Slice 58 of 155
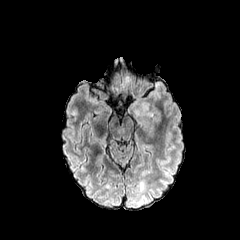
FLAIR MR.
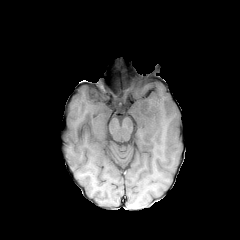
T1-weighted magnetic resonance of the same slice.
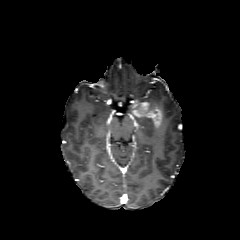
Post-contrast T1-weighted MR image of the same slice.
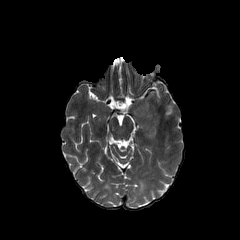
T2-weighted MR of the same slice.
enhancing tumor — <box>132,101,161,123</box>